Axial slice, Head, Image size 240x240
FLAIR MRI.
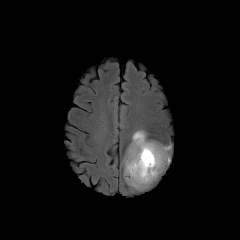
T1-weighted magnetic resonance.
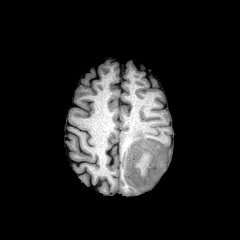
Post-contrast T1-weighted MRI.
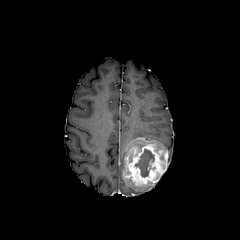
T2-weighted magnetic resonance.
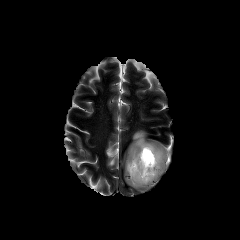
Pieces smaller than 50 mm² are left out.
enhancing tumor: bbox=[123, 137, 168, 187] | peritumoral edema: bbox=[127, 181, 150, 190]; bbox=[125, 130, 151, 155] | necrotic tumor core: bbox=[135, 149, 154, 177]